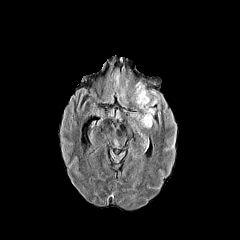
FLAIR magnetic resonance.
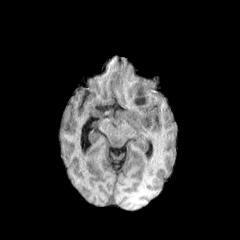
Same slice, T1-weighted magnetic resonance.
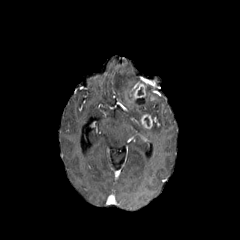
Same slice, post-contrast T1-weighted magnetic resonance.
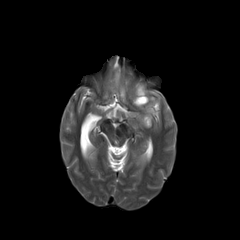
T2-weighted magnetic resonance.
Image size 240x240.
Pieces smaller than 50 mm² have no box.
{
  "necrotic_tumor_core": [
    "(136, 97, 145, 104)"
  ],
  "peritumoral_edema": [
    "(114, 73, 119, 85)",
    "(146, 104, 155, 123)",
    "(150, 90, 160, 105)"
  ],
  "enhancing_tumor": [
    "(134, 82, 145, 98)",
    "(141, 114, 152, 128)"
  ]
}